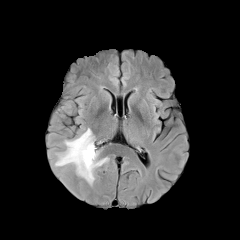
FLAIR magnetic resonance.
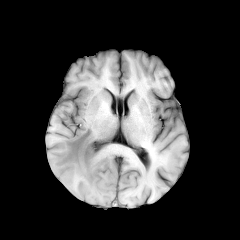
T1-weighted MR image.
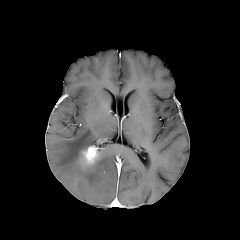
Post-contrast T1-weighted MRI.
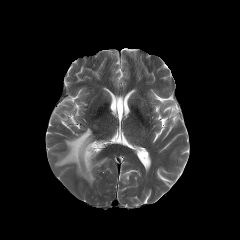
T2-weighted MR.
240x240; Brain
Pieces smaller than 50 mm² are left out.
The enhancing tumor is bounded by (x1=78, y1=145, x2=98, y2=170). The largest peritumoral edema region lies within (x1=55, y1=128, x2=108, y2=184).